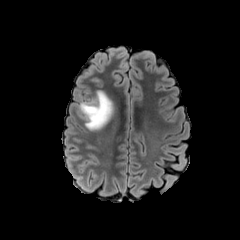
FLAIR MR.
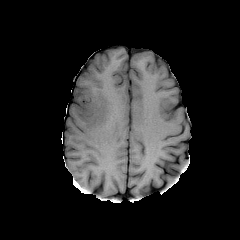
T1-weighted MR image of the same slice.
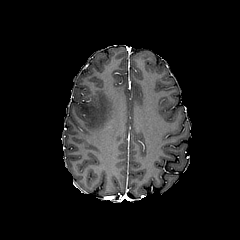
Post-contrast T1-weighted MR of the same slice.
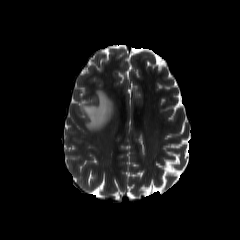
T2-weighted MR of the same slice.
The peritumoral edema is bounded by box=[78, 90, 113, 130].